Slice 85/155
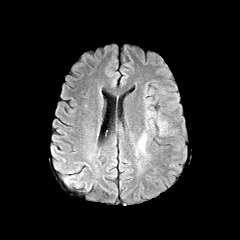
FLAIR MRI.
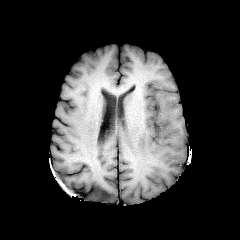
Same slice, T1-weighted MR image.
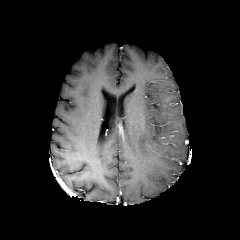
Post-contrast T1-weighted MR image.
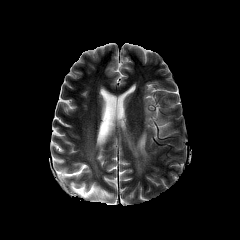
Same slice, T2-weighted MR image.
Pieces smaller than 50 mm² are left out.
peritumoral edema — [158,120,166,134], [136,133,146,155]